FLAIR MR image.
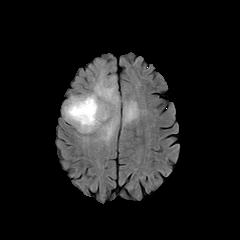
T1-weighted MRI.
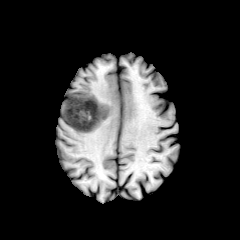
Post-contrast T1-weighted MR.
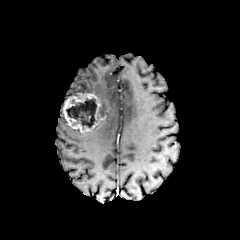
T2-weighted MRI.
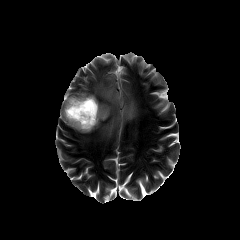
Head | 240x240 px
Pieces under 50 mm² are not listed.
- necrotic tumor core: (66, 98, 97, 127)
- peritumoral edema: (85, 73, 119, 141), (123, 100, 138, 125)
- enhancing tumor: (63, 93, 105, 133)